FLAIR MRI.
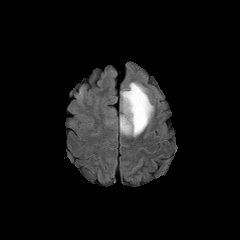
T1-weighted MR.
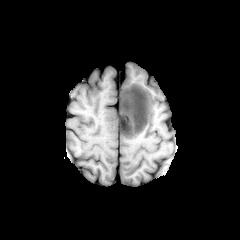
Post-contrast T1-weighted MR image.
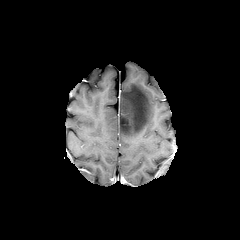
T2-weighted MR image.
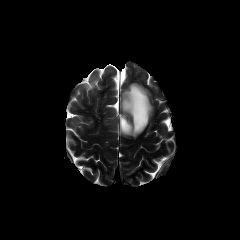
240x240 px; Axial plane
The peritumoral edema lies within 120,82,153,136.